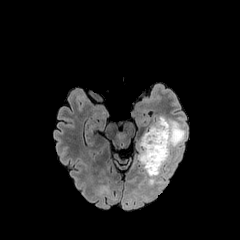
FLAIR MR.
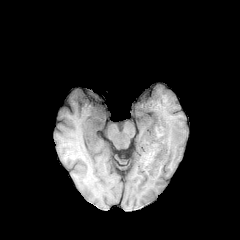
T1-weighted MRI.
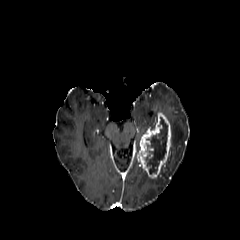
Post-contrast T1-weighted MR image.
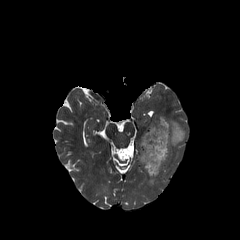
T2-weighted MR image.
Axial slice, Head
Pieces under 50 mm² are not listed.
Annotated regions:
- peritumoral edema: x1=147 y1=167 x2=164 y2=185, x1=167 y1=119 x2=185 y2=163
- enhancing tumor: x1=137 y1=113 x2=171 y2=177
- necrotic tumor core: x1=145 y1=116 x2=167 y2=173